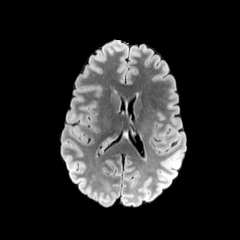
FLAIR magnetic resonance.
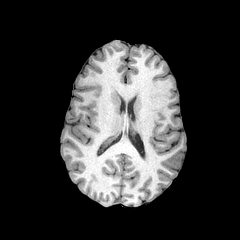
T1-weighted MR.
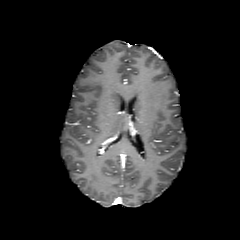
Post-contrast T1-weighted MR image.
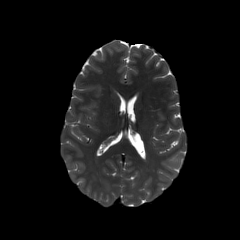
T2-weighted magnetic resonance.
Axial plane
The peritumoral edema lies within 100 138 112 147.